FLAIR MRI.
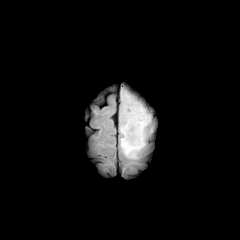
T1-weighted magnetic resonance.
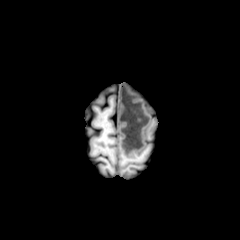
Post-contrast T1-weighted magnetic resonance.
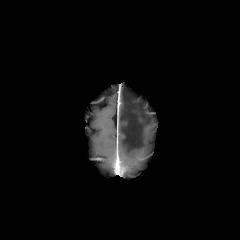
T2-weighted magnetic resonance.
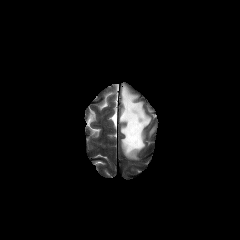
240x240 | Brain
peritumoral edema: bbox(120, 92, 149, 158)